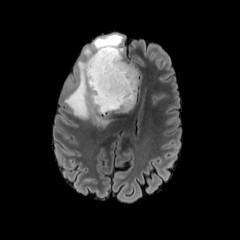
FLAIR MR.
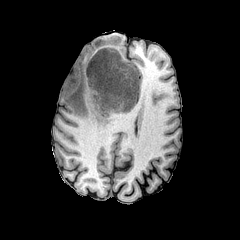
T1-weighted MRI.
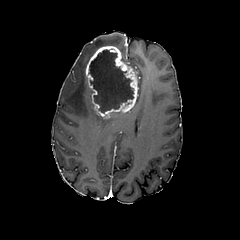
Same slice, post-contrast T1-weighted magnetic resonance.
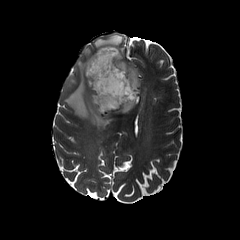
T2-weighted magnetic resonance.
Head
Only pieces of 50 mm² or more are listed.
The 2 largest peritumoral edema regions appear at (x1=93, y1=34, x2=123, y2=60), (x1=64, y1=47, x2=113, y2=129). The enhancing tumor appears at (x1=85, y1=46, x2=137, y2=117). The largest necrotic tumor core region appears at (x1=89, y1=49, x2=134, y2=113).